Head, Axial view
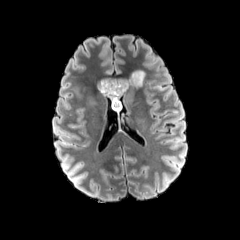
FLAIR MRI.
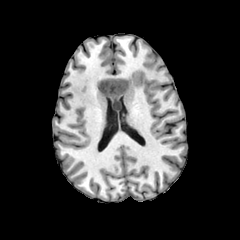
T1-weighted MRI of the same slice.
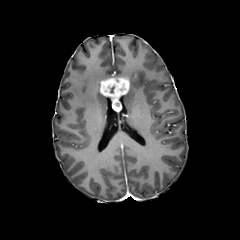
Post-contrast T1-weighted magnetic resonance.
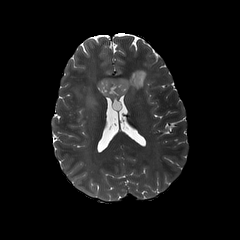
Same slice, T2-weighted MR image.
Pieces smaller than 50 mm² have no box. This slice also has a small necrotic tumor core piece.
The 2 largest peritumoral edema regions are located at l=72, t=86, r=96, b=105; l=126, t=69, r=146, b=89. The largest enhancing tumor region is bounded by l=97, t=76, r=128, b=111.